FLAIR MR.
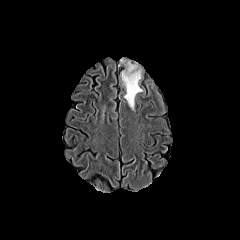
T1-weighted MR.
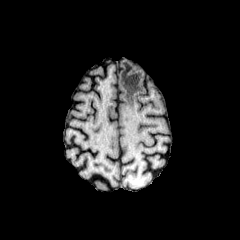
Post-contrast T1-weighted MRI.
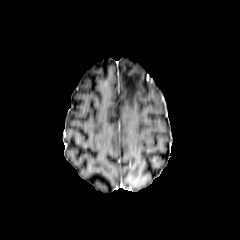
T2-weighted MR.
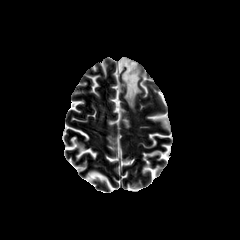
Axial view | Brain
peritumoral edema = rect(121, 58, 142, 109)